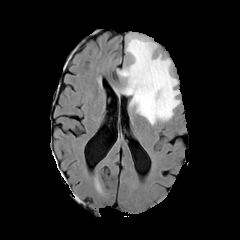
FLAIR magnetic resonance.
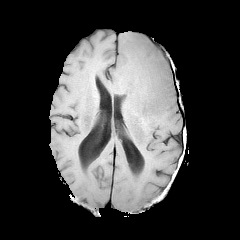
T1-weighted MR image.
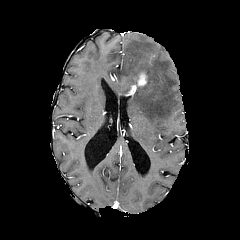
Same slice, post-contrast T1-weighted MR image.
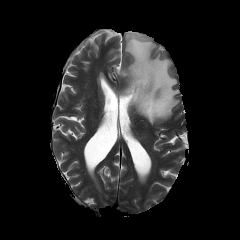
Same slice, T2-weighted MR image.
enhancing tumor: 127 71 147 95 | peritumoral edema: 116 33 178 124